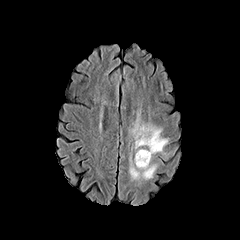
FLAIR magnetic resonance.
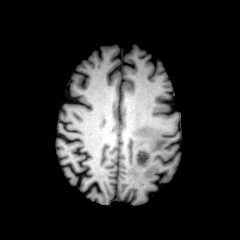
T1-weighted magnetic resonance.
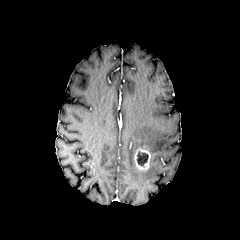
Same slice, post-contrast T1-weighted MRI.
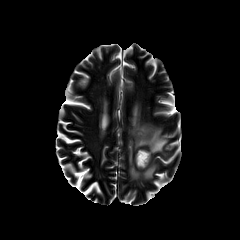
T2-weighted MR image of the same slice.
Head; Axial plane
The enhancing tumor is bounded by (x1=134, y1=149, x2=150, y2=170). 2 peritumoral edema regions are bounded by (x1=129, y1=153, x2=158, y2=181), (x1=132, y1=122, x2=170, y2=157). The necrotic tumor core appears at (x1=137, y1=151, x2=148, y2=165).